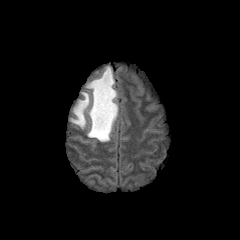
FLAIR magnetic resonance.
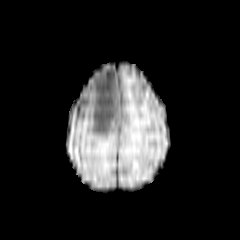
T1-weighted magnetic resonance.
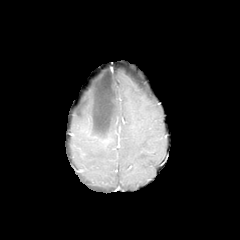
Post-contrast T1-weighted MRI.
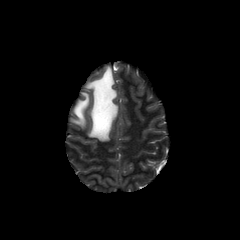
T2-weighted MR image of the same slice.
Head.
peritumoral_edema:
  - x1=70, y1=66, x2=118, y2=141